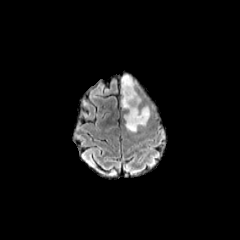
FLAIR MR.
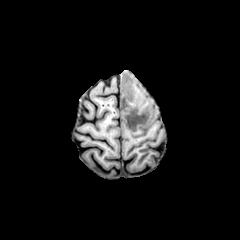
T1-weighted MRI.
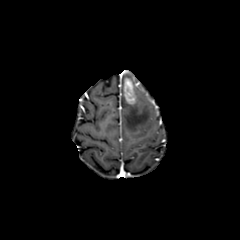
Post-contrast T1-weighted MR image.
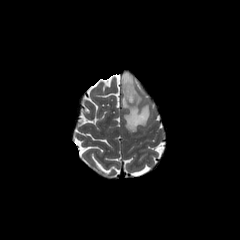
T2-weighted MR image of the same slice.
Brain
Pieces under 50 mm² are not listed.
peritumoral_edema:
  - 121, 74, 150, 132
enhancing_tumor:
  - 123, 77, 136, 104